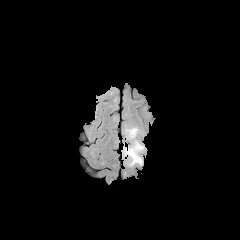
FLAIR magnetic resonance.
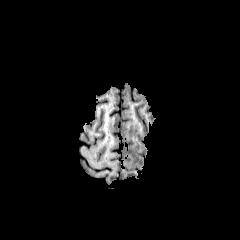
T1-weighted magnetic resonance.
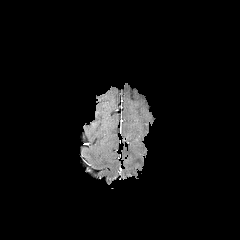
Post-contrast T1-weighted MR of the same slice.
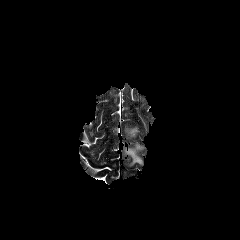
T2-weighted MR image.
Axial plane, Head
Segmented structures:
* peritumoral edema: 125 127 138 138, 123 141 144 166